Head; Axial view; 240x240
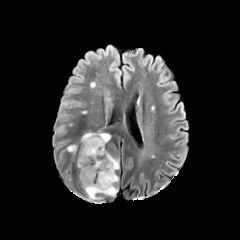
FLAIR MR.
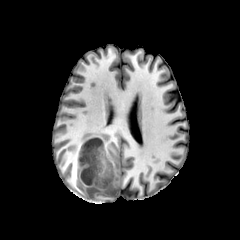
T1-weighted MR image.
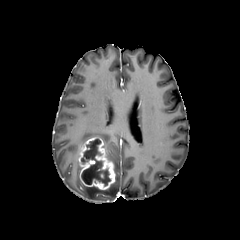
Post-contrast T1-weighted MR image.
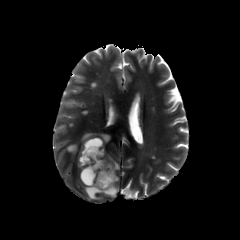
Same slice, T2-weighted MRI.
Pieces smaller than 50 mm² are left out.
peritumoral edema — box=[67, 144, 77, 153]; box=[81, 132, 110, 147]; box=[106, 152, 119, 170]; box=[84, 183, 117, 200]
necrotic tumor core — box=[81, 138, 110, 185]
enhancing tumor — box=[78, 137, 115, 189]